Slice 90/155
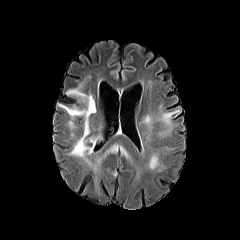
FLAIR MR image.
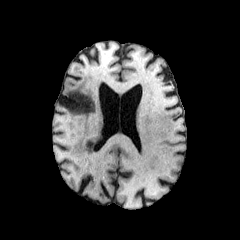
T1-weighted MRI.
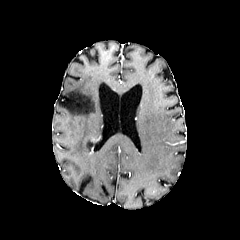
Post-contrast T1-weighted MRI.
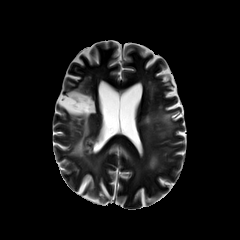
T2-weighted magnetic resonance.
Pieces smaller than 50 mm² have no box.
The 5 largest peritumoral edema regions are located at (103,142,130,159), (141,113,152,125), (147,155,158,168), (59,81,103,164), (162,109,179,126). The necrotic tumor core is bounded by (86,140,92,152).